FLAIR MR.
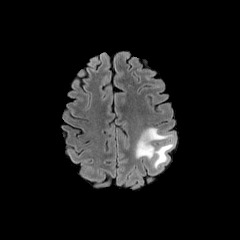
T1-weighted MRI.
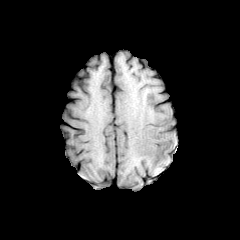
Post-contrast T1-weighted magnetic resonance.
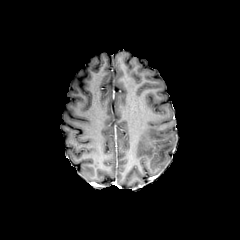
T2-weighted MRI.
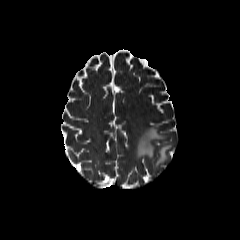
Brain; 240x240 px; Axial slice
<segmentation>
  <peritumoral_edema>135,127,174,168</peritumoral_edema>
</segmentation>